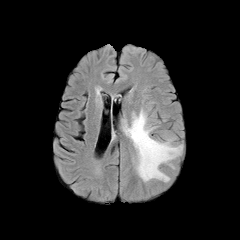
FLAIR MRI.
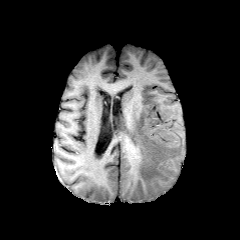
T1-weighted MR.
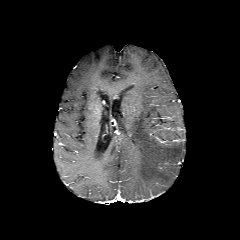
Post-contrast T1-weighted MR image.
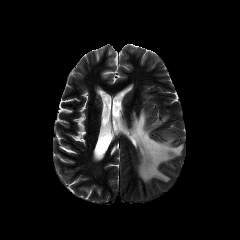
Same slice, T2-weighted MR.
Head | Image size 240x240 | Axial view
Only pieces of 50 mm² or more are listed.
The largest peritumoral edema region is bounded by 123,109,182,182.